Slice 130/155
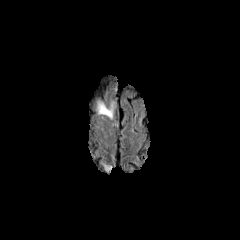
FLAIR MR image.
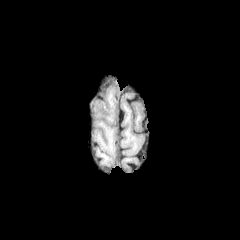
Same slice, T1-weighted MR.
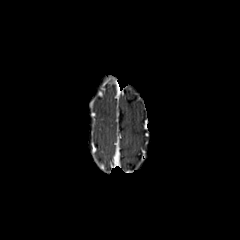
Post-contrast T1-weighted MRI.
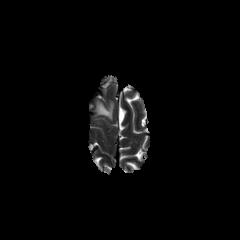
Same slice, T2-weighted MR image.
peritumoral edema: rect(98, 103, 112, 118)